FLAIR MR.
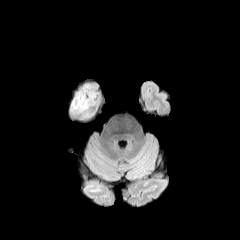
T1-weighted MRI.
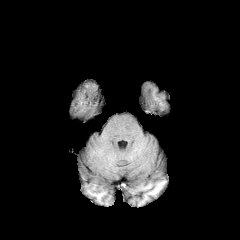
Post-contrast T1-weighted MR image.
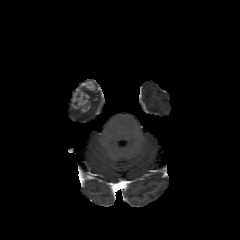
T2-weighted MR.
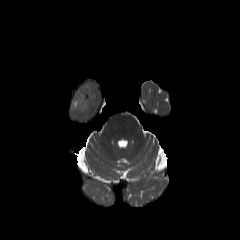
Axial plane, Head, 240x240 px
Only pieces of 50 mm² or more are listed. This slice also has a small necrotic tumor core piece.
2 enhancing tumor regions appear at (left=72, top=91, right=87, bottom=111), (left=85, top=82, right=94, bottom=89).